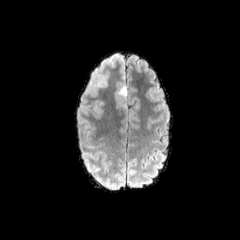
FLAIR MR image.
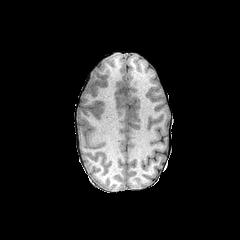
T1-weighted magnetic resonance of the same slice.
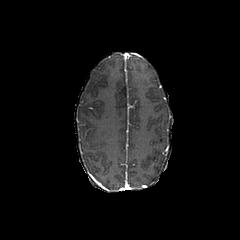
Post-contrast T1-weighted magnetic resonance of the same slice.
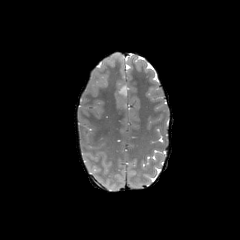
Same slice, T2-weighted MR.
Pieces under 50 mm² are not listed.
peritumoral edema: bounding box bbox=[115, 86, 126, 108]